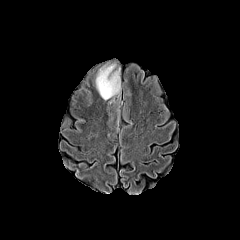
FLAIR MRI.
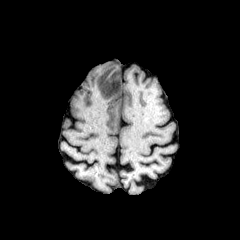
T1-weighted MRI.
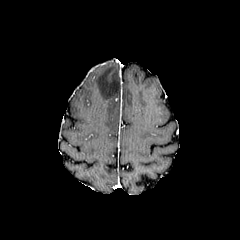
Post-contrast T1-weighted MR image of the same slice.
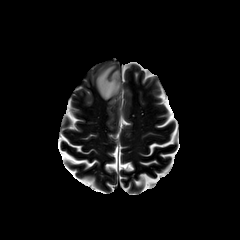
T2-weighted MR image.
Axial view
{"peritumoral_edema": ["95, 64, 120, 100"]}